Image size 240x240, Head, Axial view
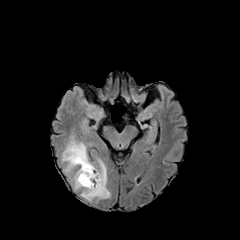
FLAIR MR.
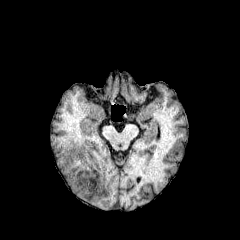
T1-weighted MR image of the same slice.
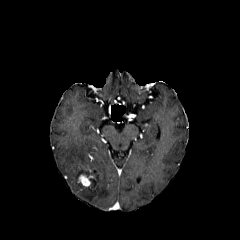
Post-contrast T1-weighted magnetic resonance.
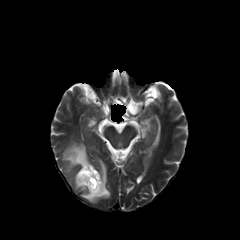
T2-weighted MR image.
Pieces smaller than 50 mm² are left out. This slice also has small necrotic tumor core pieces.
The largest enhancing tumor region is bounded by bbox(78, 174, 94, 187). The peritumoral edema is at bbox(62, 139, 110, 201).